Head | Image size 240x240 | Slice 97/155
FLAIR MR image.
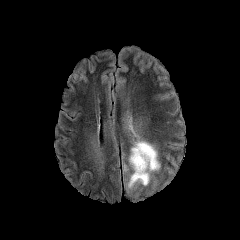
T1-weighted magnetic resonance.
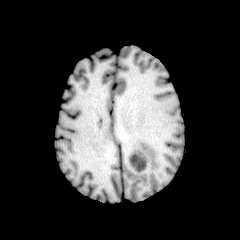
Post-contrast T1-weighted MR.
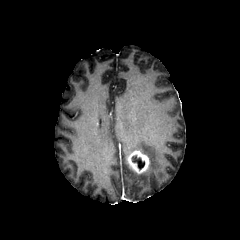
T2-weighted MR image.
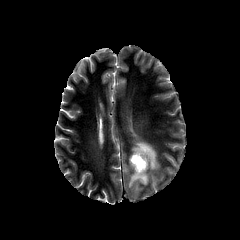
The peritumoral edema is located at <bbox>128, 141, 159, 187</bbox>. The necrotic tumor core is bounded by <bbox>132, 156, 144, 169</bbox>. The enhancing tumor is bounded by <bbox>127, 150, 149, 174</bbox>.